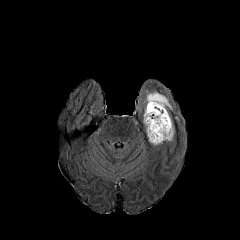
FLAIR MRI.
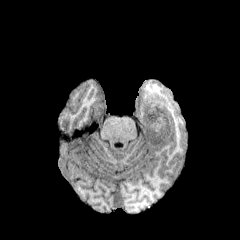
T1-weighted magnetic resonance.
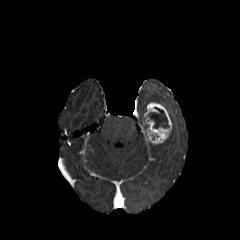
Same slice, post-contrast T1-weighted magnetic resonance.
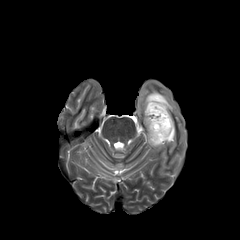
T2-weighted magnetic resonance.
Head, 240x240
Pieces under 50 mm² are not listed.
necrotic_tumor_core:
  - x1=148, y1=107, x2=169, y2=128
enhancing_tumor:
  - x1=143, y1=102, x2=172, y2=144
peritumoral_edema:
  - x1=137, y1=81, x2=181, y2=140
  - x1=164, y1=123, x2=175, y2=148